Slice index 127. Axial slice. Head.
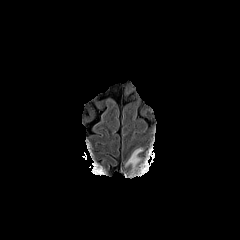
FLAIR MR image.
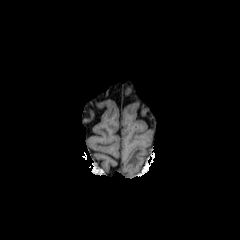
Same slice, T1-weighted MR image.
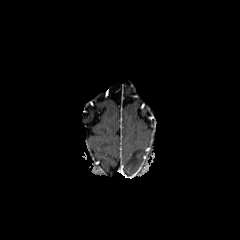
Same slice, post-contrast T1-weighted MR image.
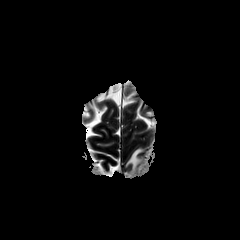
Same slice, T2-weighted magnetic resonance.
peritumoral edema: (125, 147, 145, 172)